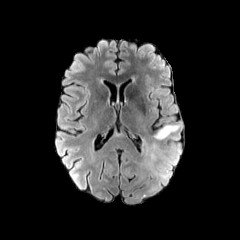
FLAIR MRI.
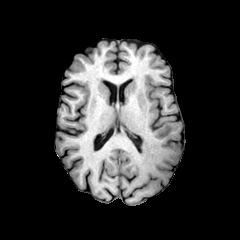
T1-weighted MR image of the same slice.
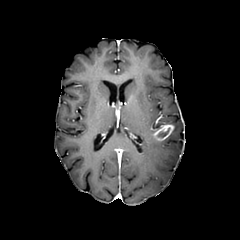
Same slice, post-contrast T1-weighted MR.
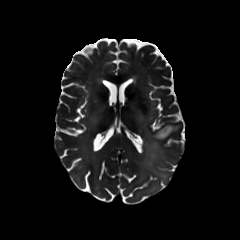
Same slice, T2-weighted magnetic resonance.
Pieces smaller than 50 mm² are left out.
Annotated regions:
- peritumoral edema: 146, 143, 166, 179
- necrotic tumor core: 158, 128, 169, 137
- enhancing tumor: 154, 123, 174, 140